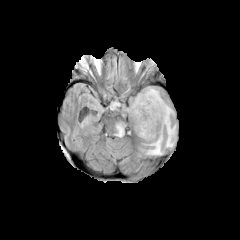
FLAIR MR image.
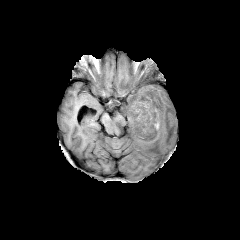
Same slice, T1-weighted MR.
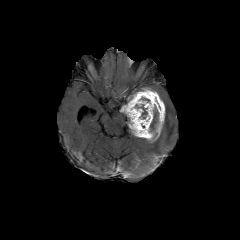
Same slice, post-contrast T1-weighted MR.
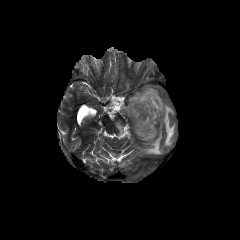
T2-weighted MR.
240x240. Head.
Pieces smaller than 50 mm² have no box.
{"peritumoral_edema": ["141 102 175 154", "116 121 125 135", "111 101 121 108"], "necrotic_tumor_core": ["135 104 147 118"], "enhancing_tumor": ["120 88 165 139"]}